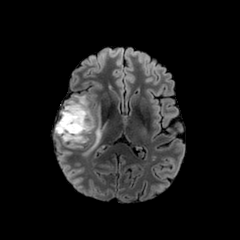
FLAIR MRI.
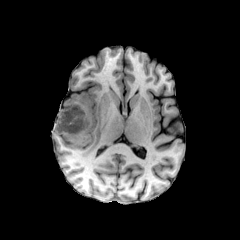
Same slice, T1-weighted magnetic resonance.
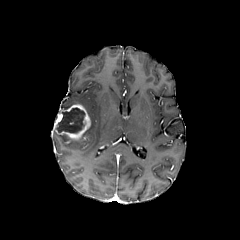
Post-contrast T1-weighted MR.
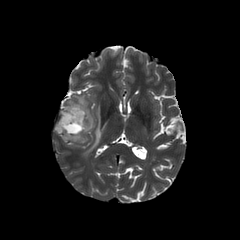
T2-weighted MR of the same slice.
Axial plane.
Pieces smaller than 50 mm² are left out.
{
  "necrotic_tumor_core": [
    "bbox=[56, 107, 84, 132]"
  ],
  "peritumoral_edema": [
    "bbox=[62, 135, 87, 142]",
    "bbox=[84, 119, 101, 155]",
    "bbox=[64, 95, 93, 132]"
  ],
  "enhancing_tumor": [
    "bbox=[55, 104, 91, 140]"
  ]
}